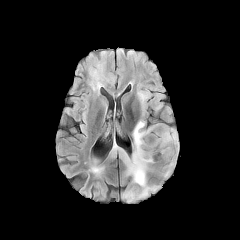
FLAIR MR image.
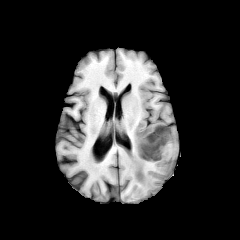
Same slice, T1-weighted MRI.
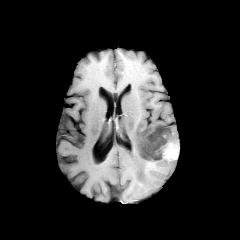
Post-contrast T1-weighted magnetic resonance of the same slice.
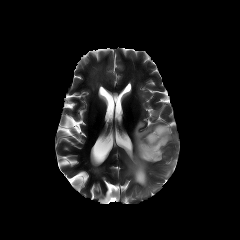
T2-weighted MR.
Brain; 240x240
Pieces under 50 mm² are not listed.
- enhancing tumor: (x1=140, y1=126, x2=177, y2=160)
- peritumoral edema: (x1=169, y1=127, x2=178, y2=153), (x1=164, y1=159, x2=175, y2=177), (x1=123, y1=120, x2=168, y2=196)
- necrotic tumor core: (x1=141, y1=127, x2=170, y2=158)